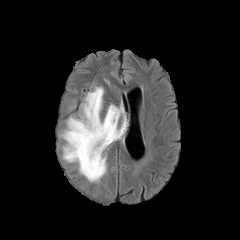
FLAIR MRI.
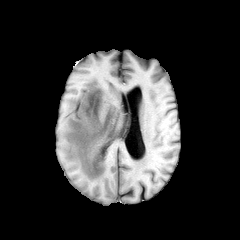
T1-weighted MR image.
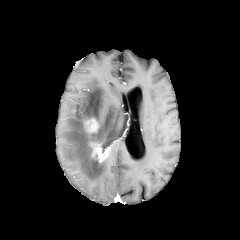
Post-contrast T1-weighted MR image.
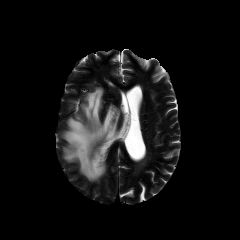
T2-weighted magnetic resonance of the same slice.
Brain
enhancing tumor: box=[89, 141, 108, 162]; box=[84, 118, 99, 134] | peritumoral edema: box=[62, 87, 126, 181]